FLAIR MRI.
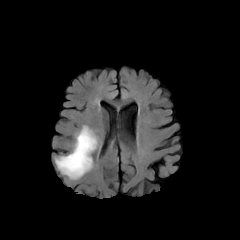
T1-weighted MRI.
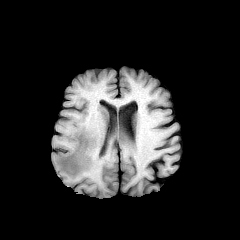
Post-contrast T1-weighted MR.
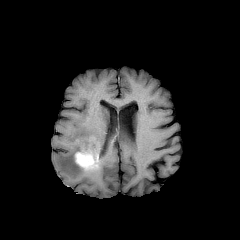
T2-weighted magnetic resonance.
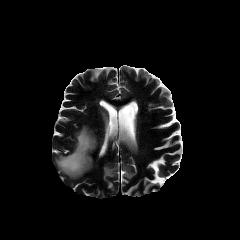
Brain.
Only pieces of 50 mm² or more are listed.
The enhancing tumor is located at 75, 151, 93, 169. The largest peritumoral edema region appears at 55, 125, 98, 179.